FLAIR magnetic resonance.
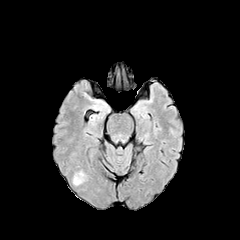
T1-weighted MR.
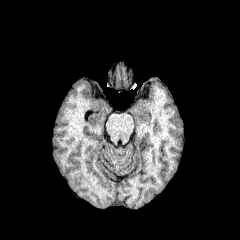
Post-contrast T1-weighted MRI.
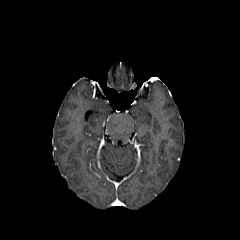
T2-weighted magnetic resonance.
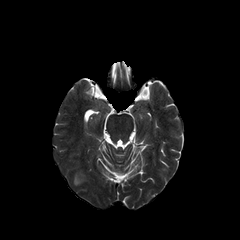
Axial slice. Head. 240x240 px.
The peritumoral edema is located at [73,172,83,184].